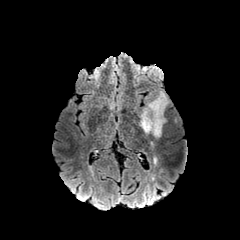
FLAIR MRI.
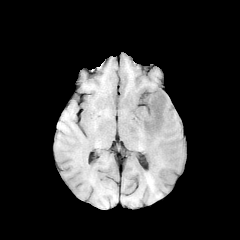
T1-weighted MR image of the same slice.
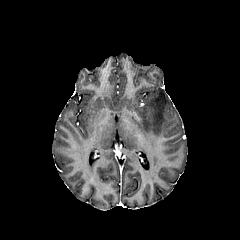
Same slice, post-contrast T1-weighted MR image.
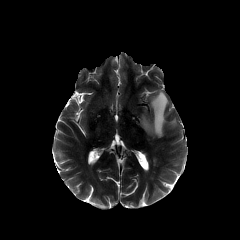
T2-weighted magnetic resonance.
Brain
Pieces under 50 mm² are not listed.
The largest peritumoral edema region lies within left=140, top=91, right=168, bottom=137.